FLAIR MRI.
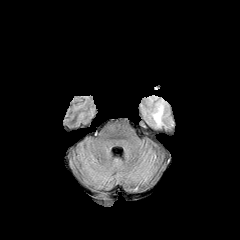
T1-weighted MR.
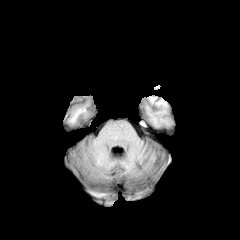
Post-contrast T1-weighted MR.
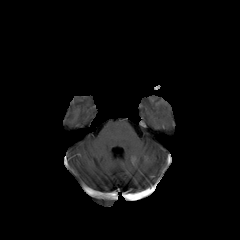
T2-weighted magnetic resonance.
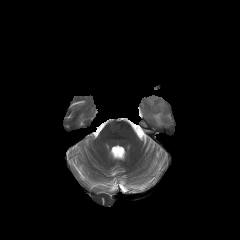
Axial view; Brain
Segmented structures:
* peritumoral edema: bbox(152, 101, 164, 125)